Head, Slice 81/155
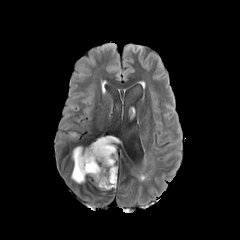
FLAIR MR image.
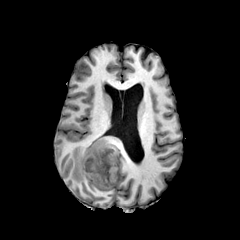
T1-weighted MR image.
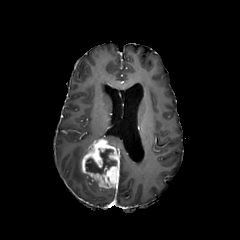
Post-contrast T1-weighted MR image of the same slice.
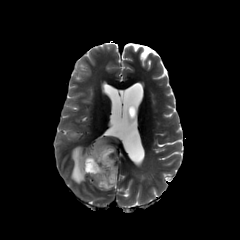
T2-weighted MR.
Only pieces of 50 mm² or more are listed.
{
  "enhancing_tumor": [
    "81 139 119 188"
  ],
  "peritumoral_edema": [
    "99 136 118 144",
    "71 146 86 183"
  ],
  "necrotic_tumor_core": [
    "85 149 115 173"
  ]
}